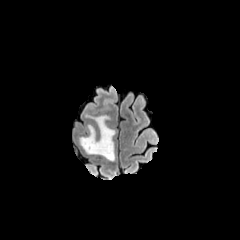
FLAIR MR.
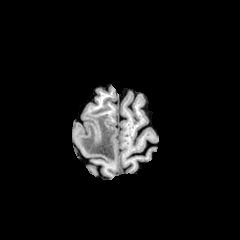
Same slice, T1-weighted MRI.
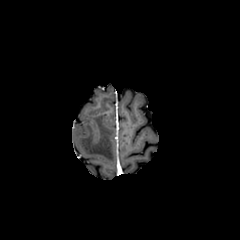
Same slice, post-contrast T1-weighted MR.
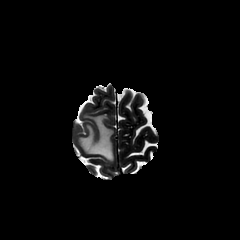
T2-weighted MRI of the same slice.
Brain.
• peritumoral edema: [79,115,115,161]